FLAIR MR image.
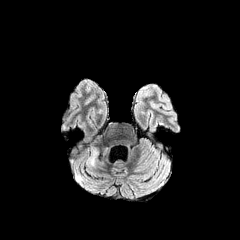
T1-weighted MR image.
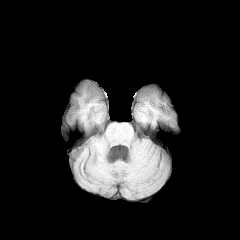
Post-contrast T1-weighted magnetic resonance.
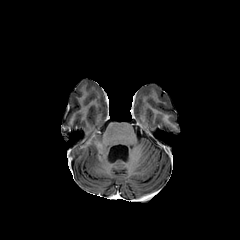
T2-weighted magnetic resonance.
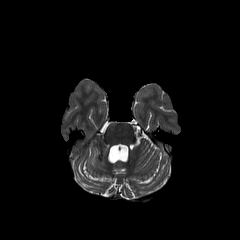
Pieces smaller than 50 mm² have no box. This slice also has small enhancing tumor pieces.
{
  "peritumoral_edema": [
    "(91,148,106,162)"
  ]
}